Axial plane
FLAIR MR image.
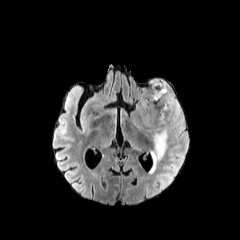
T1-weighted magnetic resonance.
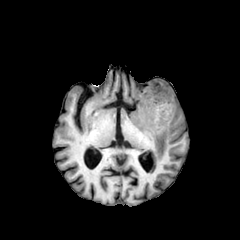
Post-contrast T1-weighted MR.
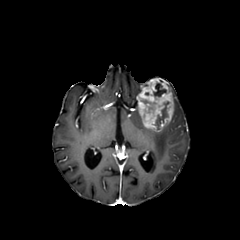
T2-weighted MR.
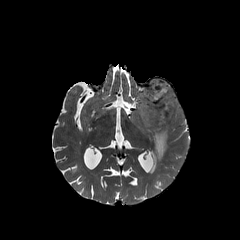
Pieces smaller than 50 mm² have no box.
necrotic tumor core: 153, 83, 166, 96; 155, 102, 169, 129
enhancing tumor: 137, 78, 173, 131
peritumoral edema: 172, 94, 184, 125; 149, 126, 168, 172